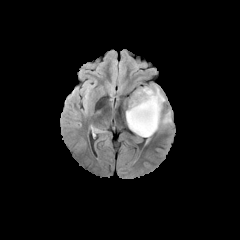
FLAIR MR image.
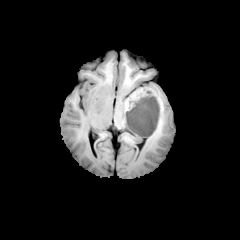
T1-weighted magnetic resonance.
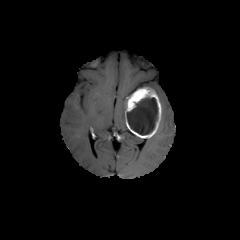
Post-contrast T1-weighted MR image.
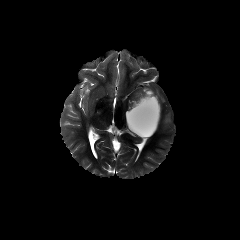
T2-weighted MR image of the same slice.
Head.
The necrotic tumor core is at [127,98,157,135]. 2 peritumoral edema regions are bounded by [150,86,165,108], [160,111,171,124]. The enhancing tumor is located at [125,87,161,138].